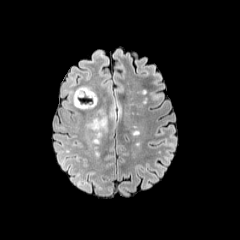
FLAIR magnetic resonance.
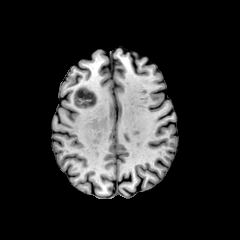
T1-weighted magnetic resonance.
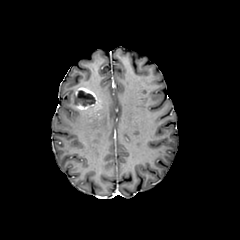
Post-contrast T1-weighted magnetic resonance.
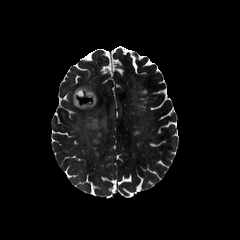
T2-weighted MR image of the same slice.
Head.
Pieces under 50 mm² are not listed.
necrotic_tumor_core:
  - box(77, 90, 95, 106)
enhancing_tumor:
  - box(75, 87, 98, 110)
peritumoral_edema:
  - box(86, 106, 107, 131)
  - box(70, 90, 76, 106)